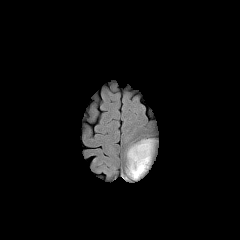
FLAIR MR image.
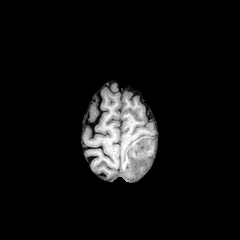
T1-weighted MR image.
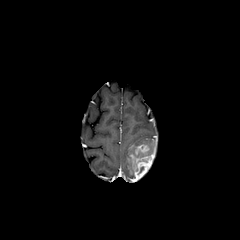
Post-contrast T1-weighted magnetic resonance.
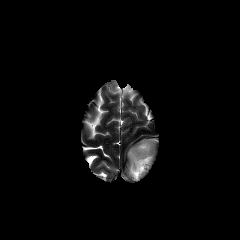
Same slice, T2-weighted MR image.
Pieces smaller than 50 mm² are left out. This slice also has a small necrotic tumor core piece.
enhancing tumor: bounding box bbox=[130, 144, 153, 180]
peritumoral edema: bounding box bbox=[127, 139, 153, 179]